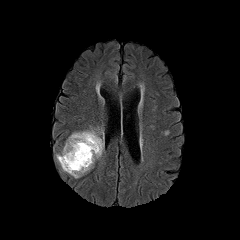
FLAIR magnetic resonance.
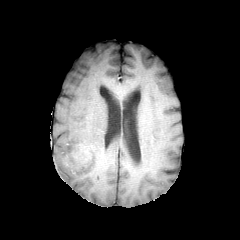
Same slice, T1-weighted MR image.
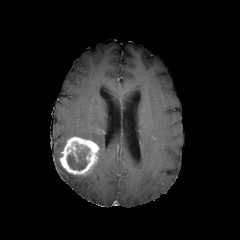
Post-contrast T1-weighted MR.
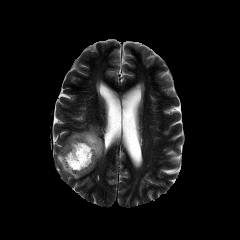
Same slice, T2-weighted magnetic resonance.
Axial plane; Brain; 240x240
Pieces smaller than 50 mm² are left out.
Findings:
* necrotic tumor core: (x1=67, y1=147, x2=89, y2=170)
* enhancing tumor: (x1=59, y1=136, x2=99, y2=175)
* peritumoral edema: (x1=68, y1=126, x2=104, y2=159), (x1=56, y1=153, x2=83, y2=178)